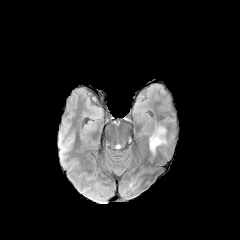
FLAIR magnetic resonance.
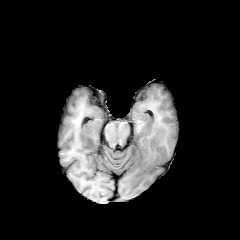
T1-weighted MR image of the same slice.
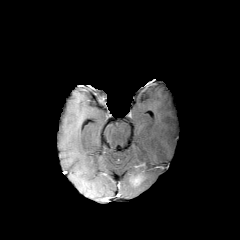
Post-contrast T1-weighted MR image.
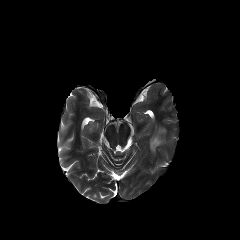
T2-weighted MR.
240x240
Segmented structures:
• peritumoral edema: {"x1": 150, "y1": 127, "x2": 165, "y2": 152}